Axial view; Head
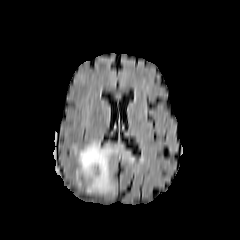
FLAIR magnetic resonance.
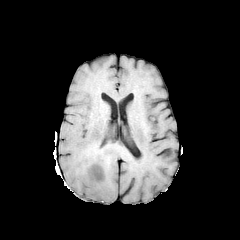
T1-weighted MR image of the same slice.
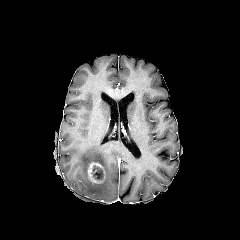
Post-contrast T1-weighted MR of the same slice.
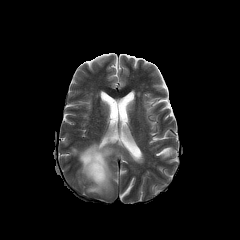
Same slice, T2-weighted MR image.
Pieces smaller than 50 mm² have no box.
The enhancing tumor appears at <box>87,162,105,183</box>. The largest peritumoral edema region appears at <box>71,140,139,194</box>. The necrotic tumor core is bounded by <box>92,166,103,179</box>.